Axial view; Brain
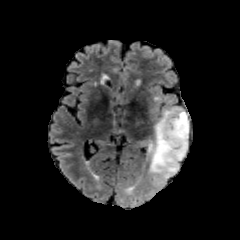
FLAIR MR image.
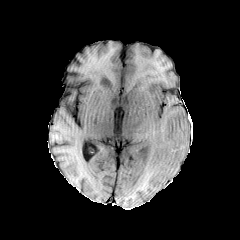
Same slice, T1-weighted magnetic resonance.
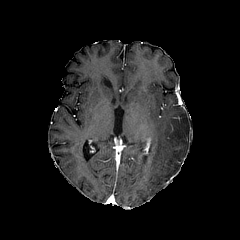
Post-contrast T1-weighted MR of the same slice.
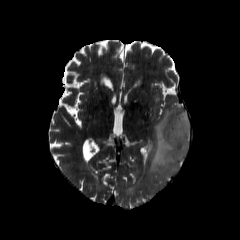
T2-weighted MRI.
2 peritumoral edema regions are bounded by left=138, top=139, right=147, bottom=146; left=148, top=106, right=189, bottom=182.